Axial slice | Slice 67/155
FLAIR MR image.
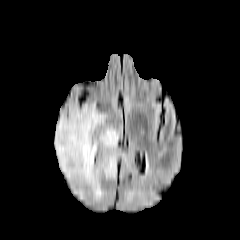
T1-weighted MR image.
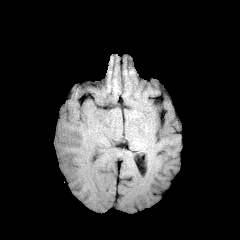
Post-contrast T1-weighted magnetic resonance.
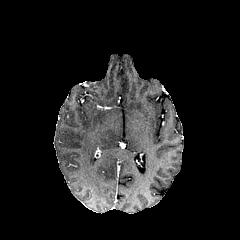
T2-weighted MRI.
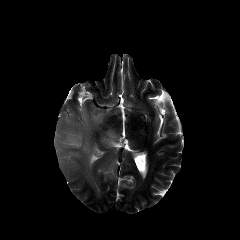
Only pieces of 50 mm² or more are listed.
Segmented structures:
- peritumoral edema: <box>54,104,120,200</box>